Head.
FLAIR magnetic resonance.
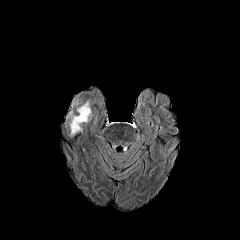
T1-weighted MR image.
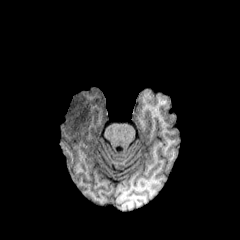
Post-contrast T1-weighted MR image.
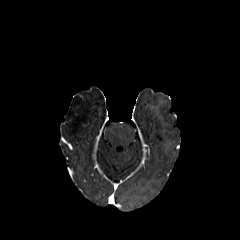
T2-weighted magnetic resonance.
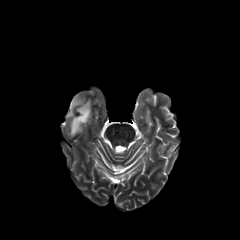
Findings:
* peritumoral edema: rect(67, 101, 91, 136); rect(71, 99, 78, 107)